240x240 px, Image width 240 mm
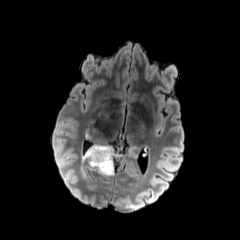
FLAIR MR.
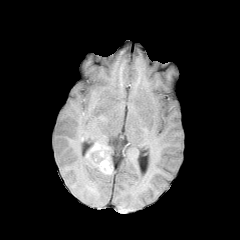
Same slice, T1-weighted MR.
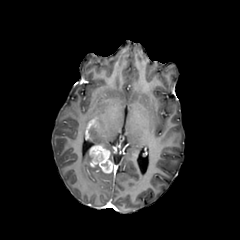
Post-contrast T1-weighted MR of the same slice.
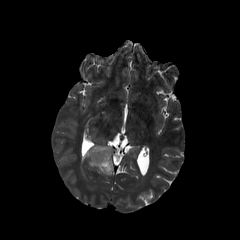
Same slice, T2-weighted MRI.
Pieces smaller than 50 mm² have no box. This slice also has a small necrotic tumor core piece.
The 3 largest peritumoral edema regions are bounded by rect(81, 166, 87, 178); rect(82, 149, 90, 164); rect(92, 141, 114, 161). The largest enhancing tumor region lies within rect(89, 145, 113, 173).